FLAIR MR image.
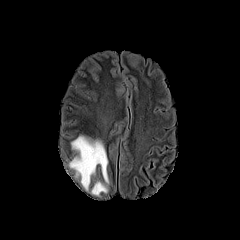
T1-weighted MR image.
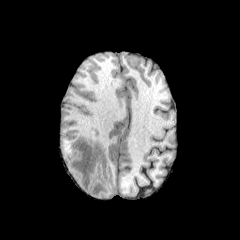
Post-contrast T1-weighted magnetic resonance.
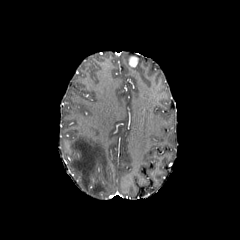
T2-weighted MR.
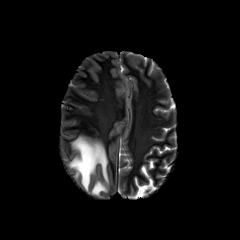
Head; Axial view; 240x240
Findings:
- peritumoral edema: <bbox>92, 181, 107, 195</bbox>, <bbox>70, 136, 108, 189</bbox>